FLAIR MRI.
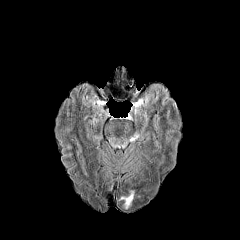
T1-weighted MRI.
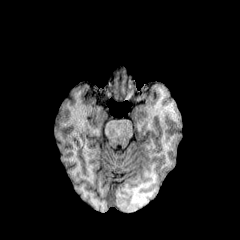
Post-contrast T1-weighted MR.
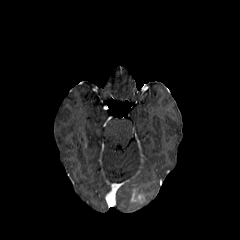
T2-weighted MRI.
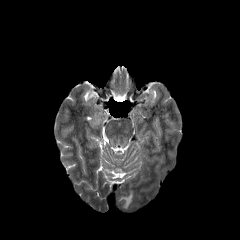
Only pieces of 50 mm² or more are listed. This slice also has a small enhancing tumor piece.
peritumoral edema: [120, 190, 134, 209]